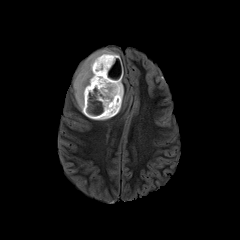
FLAIR MR image.
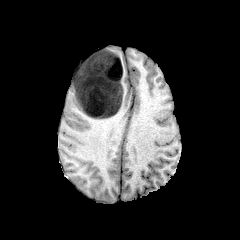
T1-weighted magnetic resonance.
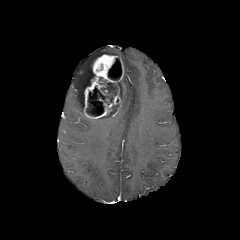
Post-contrast T1-weighted MR of the same slice.
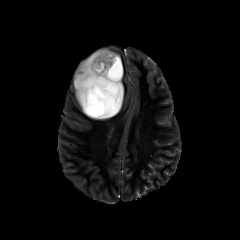
Same slice, T2-weighted MR.
Head
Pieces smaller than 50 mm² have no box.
Segmented structures:
• peritumoral edema: 120, 79, 124, 106; 73, 48, 120, 113; 91, 115, 112, 120
• enhancing tumor: 83, 54, 123, 118
• necrotic tumor core: 109, 104, 118, 115; 86, 82, 117, 116; 108, 58, 121, 80